FLAIR MR.
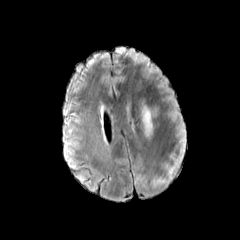
T1-weighted magnetic resonance.
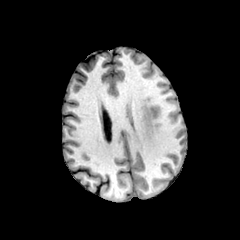
Post-contrast T1-weighted MRI.
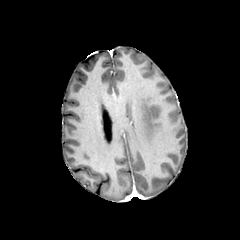
T2-weighted MR image.
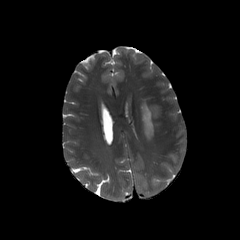
240x240 px. Brain.
Findings:
• peritumoral edema: region(142, 104, 152, 137)